240x240 px, Axial view
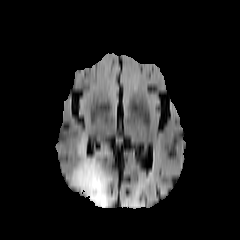
FLAIR magnetic resonance.
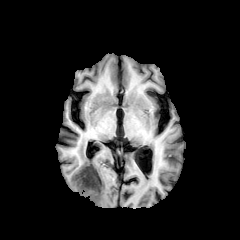
T1-weighted MRI of the same slice.
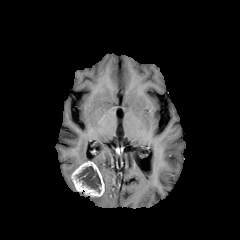
Post-contrast T1-weighted magnetic resonance.
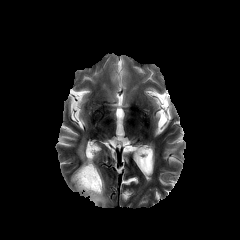
Same slice, T2-weighted MR.
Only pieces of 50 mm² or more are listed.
* enhancing tumor: rect(71, 161, 104, 196)
* necrotic tumor core: rect(76, 166, 101, 192)
* peritumoral edema: rect(76, 138, 114, 207)